Image covers 240 mm x 240 mm, Axial plane, Brain
FLAIR magnetic resonance.
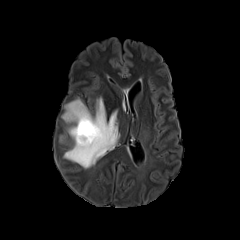
T1-weighted MR image.
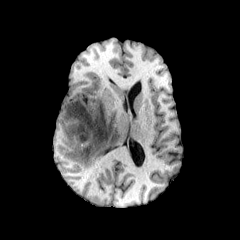
Post-contrast T1-weighted MR.
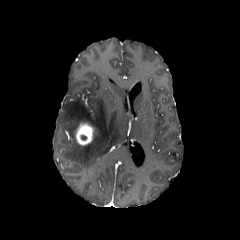
T2-weighted MRI.
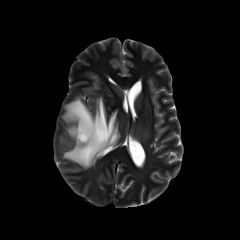
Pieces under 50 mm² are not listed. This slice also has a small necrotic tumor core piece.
peritumoral_edema:
  - {"x1": 62, "y1": 97, "x2": 119, "y2": 168}
enhancing_tumor:
  - {"x1": 75, "y1": 122, "x2": 94, "y2": 145}